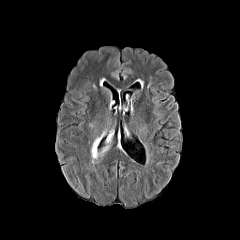
FLAIR MRI.
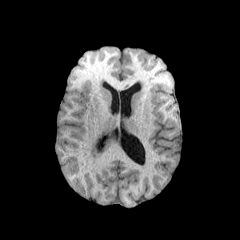
T1-weighted MRI.
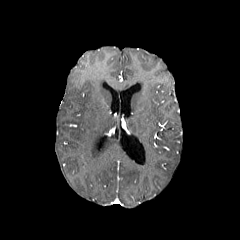
Post-contrast T1-weighted magnetic resonance of the same slice.
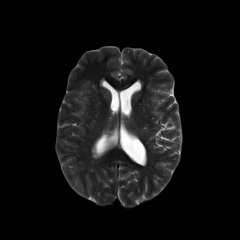
T2-weighted MRI.
Head
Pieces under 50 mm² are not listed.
Annotated regions:
* peritumoral edema: l=91, t=137, r=100, b=158